Axial slice, Head, Slice 73/155
FLAIR MR.
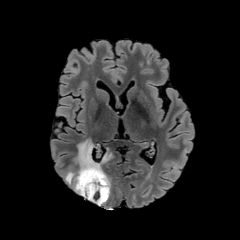
T1-weighted MRI.
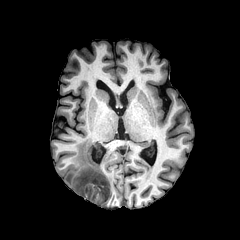
Post-contrast T1-weighted magnetic resonance.
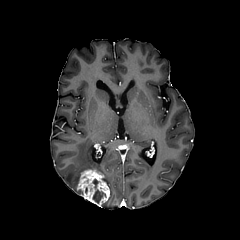
T2-weighted magnetic resonance.
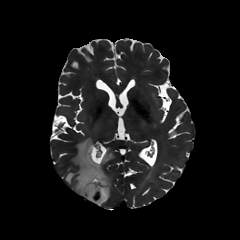
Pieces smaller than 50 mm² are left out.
Annotated regions:
• enhancing tumor: (77,168,109,206)
• necrotic tumor core: (93,190,105,203)
• peritumoral edema: (64,139,112,196)